FLAIR MR.
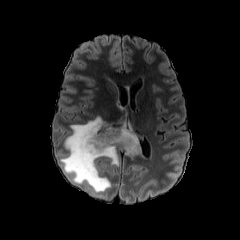
T1-weighted MR image.
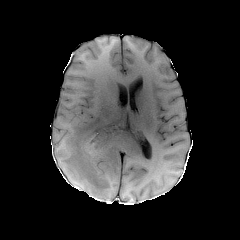
Post-contrast T1-weighted MRI.
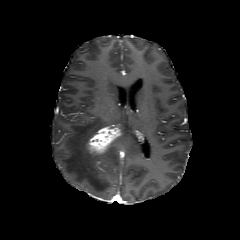
T2-weighted MR image.
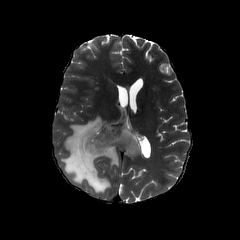
240x240 px, Axial slice, Brain
The enhancing tumor lies within [x1=87, y1=125, x2=121, y2=154]. The peritumoral edema lies within [x1=60, y1=109, x2=140, y2=193].